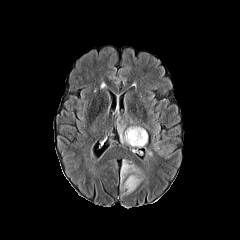
FLAIR MR image.
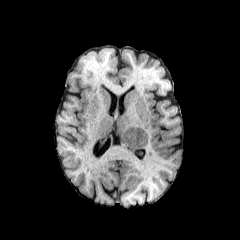
T1-weighted MR.
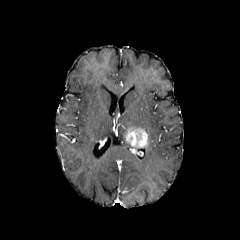
Post-contrast T1-weighted MRI of the same slice.
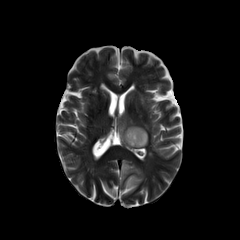
T2-weighted MR.
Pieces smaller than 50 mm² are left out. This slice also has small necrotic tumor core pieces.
{"peritumoral_edema": ["l=121, t=175, r=142, b=195", "l=120, t=159, r=141, b=183", "l=117, t=125, r=124, b=142"], "enhancing_tumor": ["l=124, t=127, r=147, b=147"]}